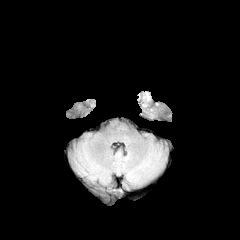
FLAIR MR image.
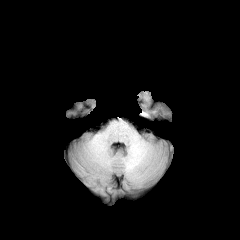
T1-weighted MR image.
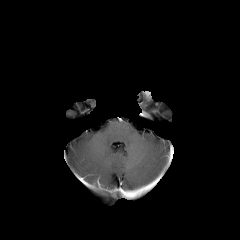
Same slice, post-contrast T1-weighted magnetic resonance.
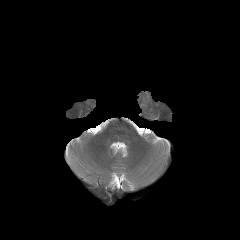
T2-weighted MR.
Axial view; Brain
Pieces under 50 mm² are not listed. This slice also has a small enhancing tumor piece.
The largest peritumoral edema region is located at (x1=143, y1=92, x2=151, y2=101).